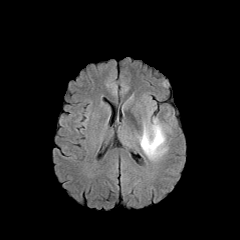
FLAIR MR.
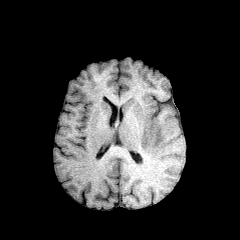
T1-weighted MR.
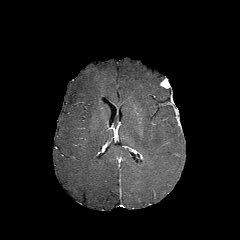
Post-contrast T1-weighted magnetic resonance of the same slice.
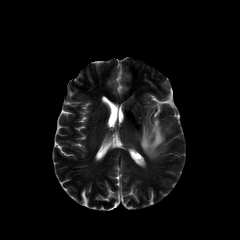
Same slice, T2-weighted magnetic resonance.
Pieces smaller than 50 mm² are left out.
peritumoral edema at x1=139 y1=119 x2=166 y2=159